FLAIR MR.
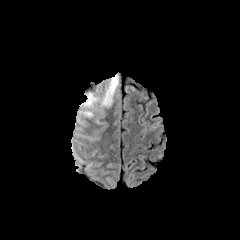
T1-weighted MR image.
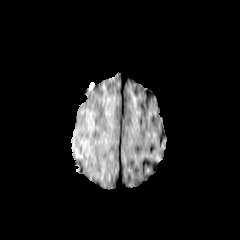
Post-contrast T1-weighted MR.
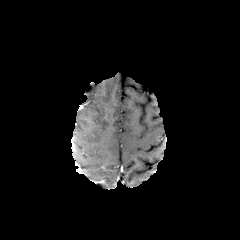
T2-weighted magnetic resonance.
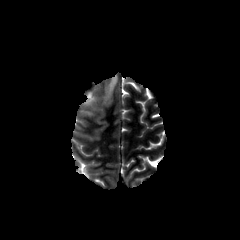
Axial plane
peritumoral_edema:
  - (left=86, top=92, right=96, bottom=105)
  - (left=102, top=76, right=118, bottom=105)